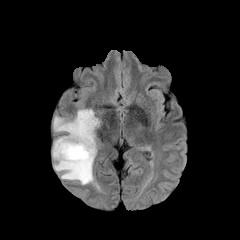
FLAIR magnetic resonance.
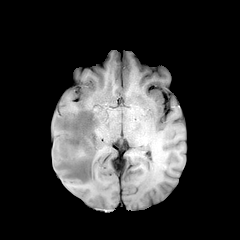
T1-weighted MR.
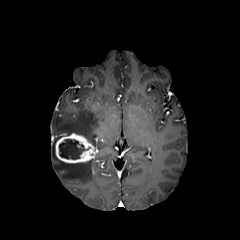
Post-contrast T1-weighted MRI.
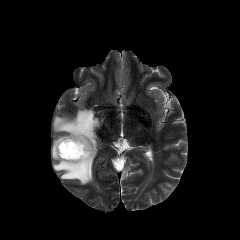
T2-weighted magnetic resonance.
Axial view | 240x240 px
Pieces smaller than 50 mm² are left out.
The largest enhancing tumor region lies within 55, 133, 97, 163. The necrotic tumor core is at 59, 139, 85, 159. 2 peritumoral edema regions are bounded by 53, 109, 99, 147; 52, 137, 93, 184.